Slice index 91, Brain, Image width 240 mm, 1.00 mm slice spacing, Axial slice
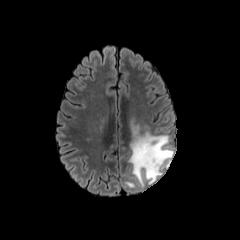
FLAIR MR image.
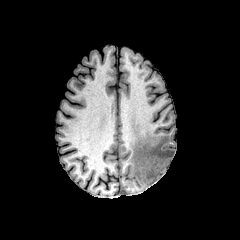
T1-weighted MR of the same slice.
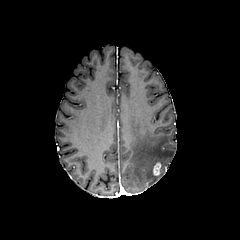
Post-contrast T1-weighted magnetic resonance.
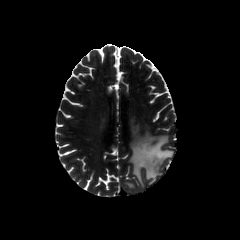
T2-weighted magnetic resonance of the same slice.
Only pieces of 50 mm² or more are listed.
peritumoral_edema:
  - 128 121 173 187
enhancing_tumor:
  - 153 162 161 175